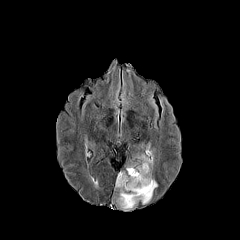
FLAIR MRI.
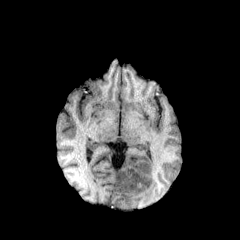
T1-weighted MR image.
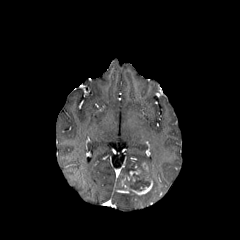
Post-contrast T1-weighted MR of the same slice.
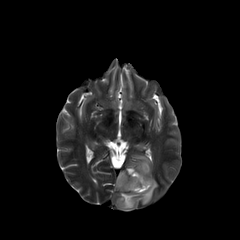
T2-weighted magnetic resonance of the same slice.
Brain | Axial view
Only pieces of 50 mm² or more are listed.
{"peritumoral_edema": ["[115, 151, 157, 210]"], "necrotic_tumor_core": ["[125, 177, 150, 191]"], "enhancing_tumor": ["[118, 169, 152, 195]", "[142, 162, 149, 172]"]}